FLAIR MR.
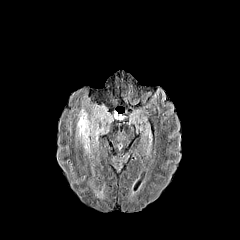
T1-weighted magnetic resonance.
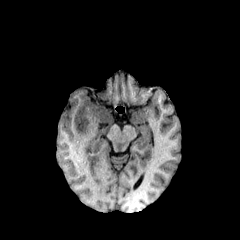
Post-contrast T1-weighted MR.
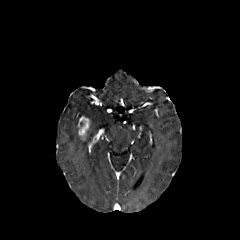
T2-weighted MR.
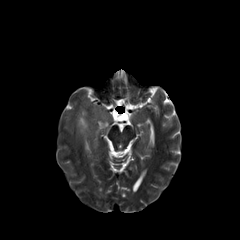
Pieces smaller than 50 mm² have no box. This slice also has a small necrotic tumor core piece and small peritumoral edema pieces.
<segmentation>
  <enhancing_tumor>[77,116,90,140]</enhancing_tumor>
</segmentation>